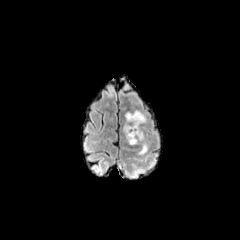
FLAIR MR.
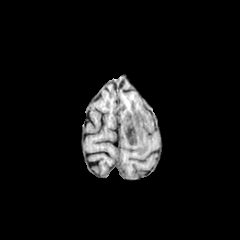
T1-weighted MR image of the same slice.
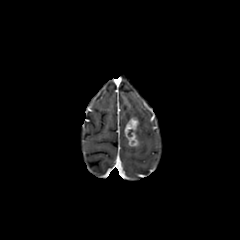
Post-contrast T1-weighted magnetic resonance.
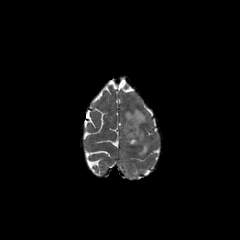
T2-weighted MR.
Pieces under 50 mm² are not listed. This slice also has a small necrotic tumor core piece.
enhancing tumor: bounding box x1=124 y1=116 x2=139 y2=146
peritumoral edema: bounding box x1=122 y1=109 x2=148 y2=155